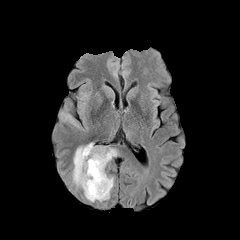
FLAIR magnetic resonance.
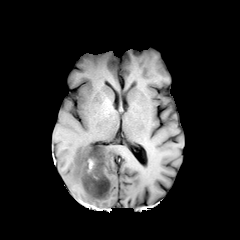
T1-weighted magnetic resonance.
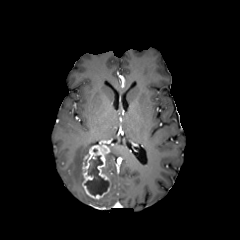
Post-contrast T1-weighted MRI.
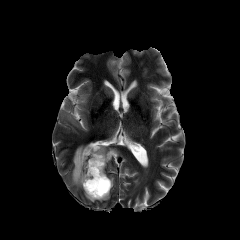
T2-weighted MR image.
Axial plane
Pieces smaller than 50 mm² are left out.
The largest necrotic tumor core region is bounded by (left=85, top=156, right=109, bottom=195). The 4 largest peritumoral edema regions appear at (left=72, top=142, right=93, bottom=189), (left=84, top=177, right=113, bottom=202), (left=106, top=148, right=117, bottom=165), (left=65, top=114, right=78, bottom=127). The enhancing tumor is located at (left=82, top=145, right=111, bottom=199).